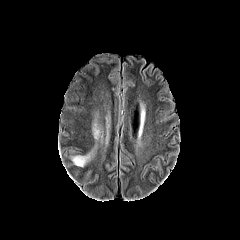
FLAIR MR image.
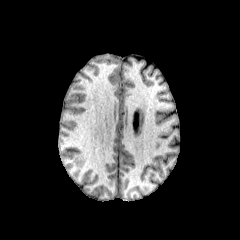
Same slice, T1-weighted MRI.
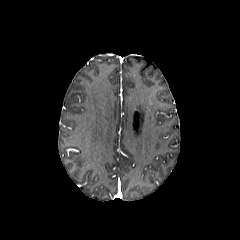
Post-contrast T1-weighted MR image of the same slice.
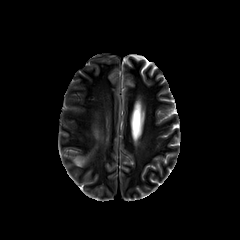
T2-weighted magnetic resonance.
Brain; 240x240
peritumoral edema — (x1=68, y1=144, x2=96, y2=167), (x1=92, y1=123, x2=98, y2=138)